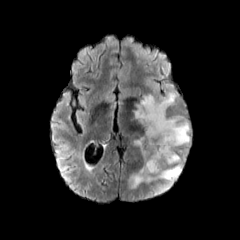
FLAIR MRI.
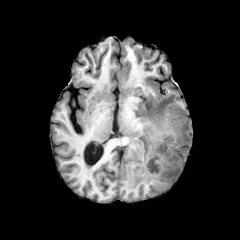
T1-weighted magnetic resonance.
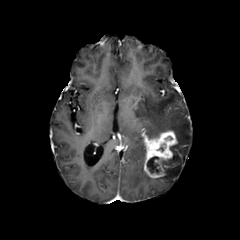
Post-contrast T1-weighted MR image of the same slice.
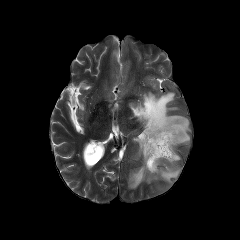
T2-weighted MRI.
Brain | Axial slice
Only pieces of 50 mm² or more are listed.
<segmentation>
  <peritumoral_edema>bbox=[134, 137, 144, 165]; bbox=[128, 93, 190, 194]</peritumoral_edema>
  <necrotic_tumor_core>bbox=[147, 156, 161, 173]</necrotic_tumor_core>
  <enhancing_tumor>bbox=[143, 129, 177, 179]</enhancing_tumor>
</segmentation>